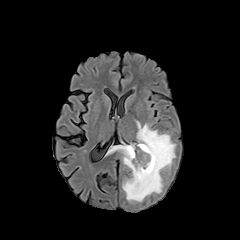
FLAIR magnetic resonance.
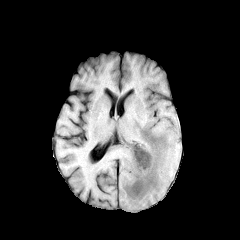
T1-weighted MR.
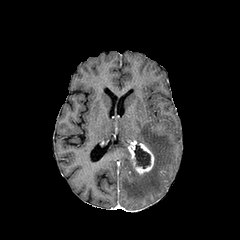
Post-contrast T1-weighted MR image of the same slice.
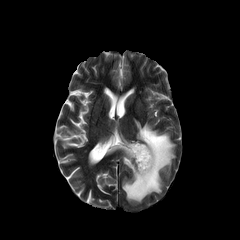
T2-weighted MR.
Brain; Axial view
The enhancing tumor is located at [128, 143, 154, 175]. The necrotic tumor core lies within [134, 144, 150, 168]. The peritumoral edema is at [110, 121, 175, 202].